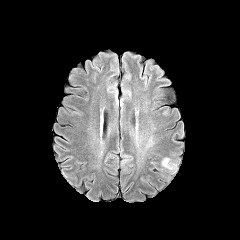
FLAIR MR image.
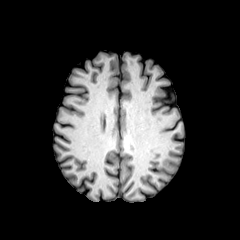
T1-weighted MRI.
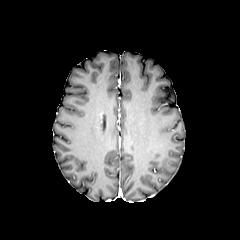
Same slice, post-contrast T1-weighted MR image.
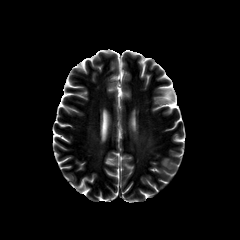
Same slice, T2-weighted MRI.
240x240, Brain, Axial slice
peritumoral_edema:
  - l=161, t=157, r=177, b=173